Axial plane. Slice index 72. Image size 240x240.
FLAIR MRI.
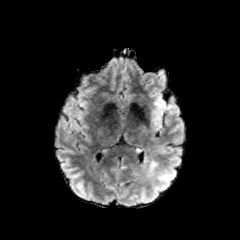
T1-weighted MRI.
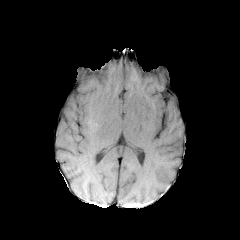
Post-contrast T1-weighted MRI.
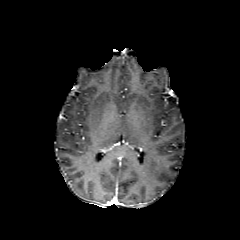
T2-weighted MRI.
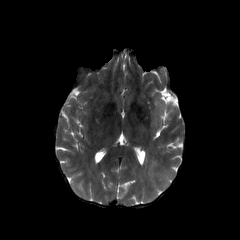
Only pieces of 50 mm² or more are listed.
The largest peritumoral edema region appears at [153, 94, 175, 127].